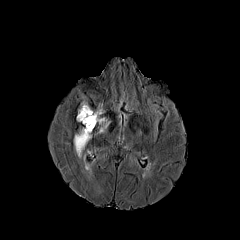
FLAIR MR image.
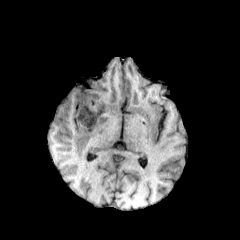
T1-weighted MR image.
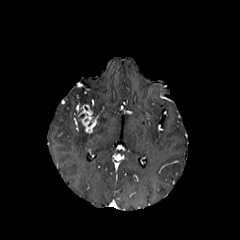
Post-contrast T1-weighted MR image.
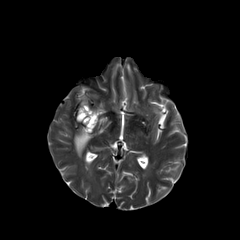
T2-weighted MR.
Image size 240x240 | Axial view | Head
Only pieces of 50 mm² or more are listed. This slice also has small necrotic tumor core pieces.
{
  "peritumoral_edema": [
    "74, 127, 91, 157",
    "92, 105, 101, 115"
  ],
  "enhancing_tumor": [
    "77, 104, 97, 133"
  ]
}